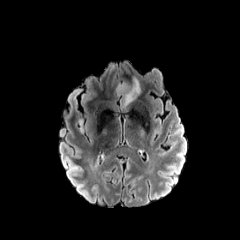
FLAIR magnetic resonance.
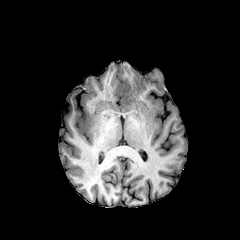
T1-weighted magnetic resonance.
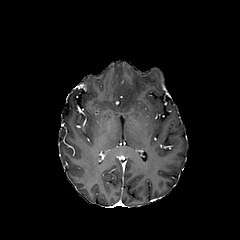
Post-contrast T1-weighted MR of the same slice.
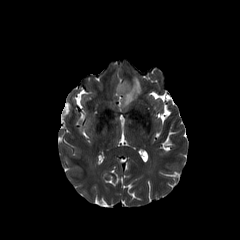
Same slice, T2-weighted magnetic resonance.
Brain
peritumoral_edema:
  - l=116, t=77, r=140, b=106